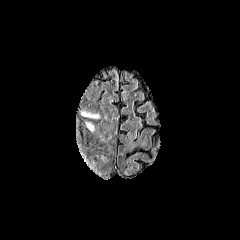
FLAIR MR image.
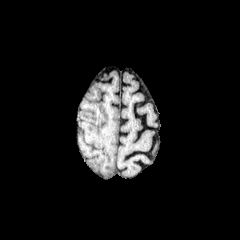
T1-weighted MR image of the same slice.
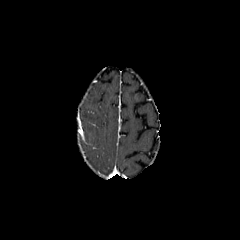
Same slice, post-contrast T1-weighted MR image.
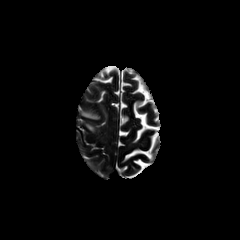
Same slice, T2-weighted MR image.
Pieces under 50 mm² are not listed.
{"peritumoral_edema": ["left=81, top=112, right=99, bottom=118"]}